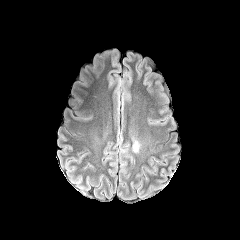
FLAIR magnetic resonance.
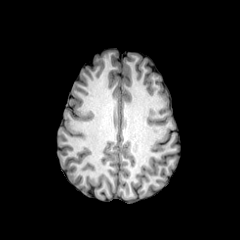
T1-weighted MR image.
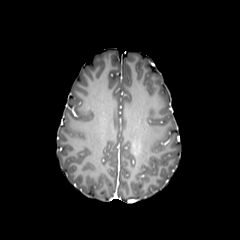
Post-contrast T1-weighted MR image.
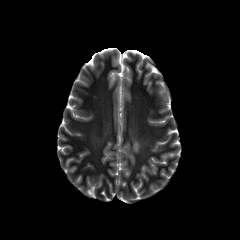
T2-weighted magnetic resonance.
Axial slice | Brain
The peritumoral edema lies within [131,137,141,153].